Image width 240 mm | Axial view | 240x240 px | Slice index 91
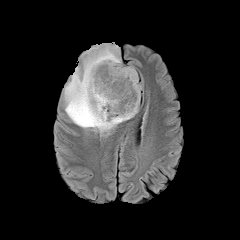
FLAIR magnetic resonance.
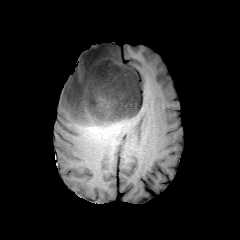
T1-weighted magnetic resonance.
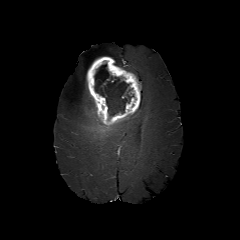
Post-contrast T1-weighted MR.
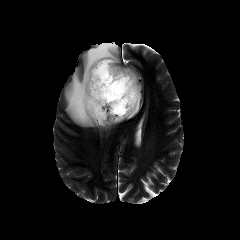
T2-weighted MRI of the same slice.
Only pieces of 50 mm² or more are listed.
Findings:
- peritumoral edema: 64,43,137,132
- necrotic tumor core: 94,64,133,115
- enhancing tumor: 86,56,141,126